Axial plane; Head
FLAIR MR image.
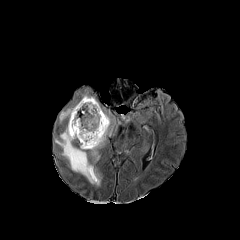
T1-weighted MR.
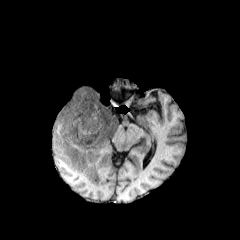
Post-contrast T1-weighted MRI.
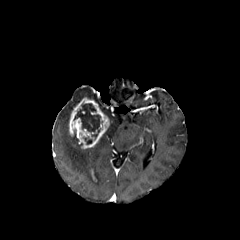
T2-weighted magnetic resonance.
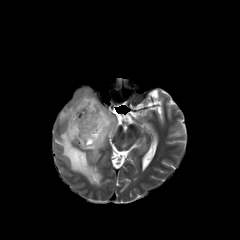
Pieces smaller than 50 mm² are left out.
The 2 largest enhancing tumor regions appear at (left=90, top=169, right=97, bottom=183), (left=69, top=97, right=109, bottom=149). The 3 largest peritumoral edema regions appear at (left=54, top=102, right=101, bottom=186), (left=85, top=106, right=118, bottom=162), (left=82, top=90, right=97, bottom=102). The largest necrotic tumor core region appears at (left=74, top=103, right=101, bottom=138).